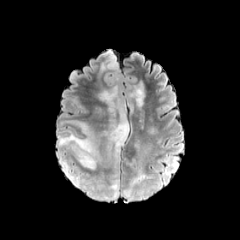
FLAIR MR.
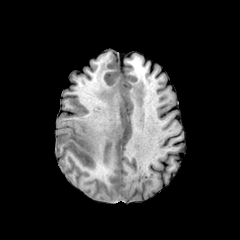
T1-weighted MR image.
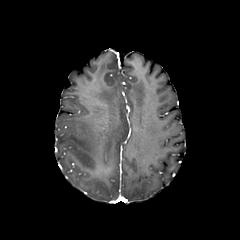
Same slice, post-contrast T1-weighted MR.
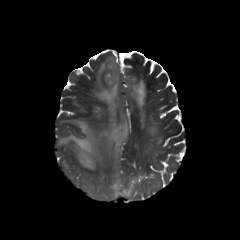
Same slice, T2-weighted MRI.
Axial slice
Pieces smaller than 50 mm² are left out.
peritumoral edema = x1=61 y1=161 x2=79 y2=185, x1=131 y1=82 x2=144 y2=107, x1=121 y1=172 x2=145 y2=199, x1=89 y1=171 x2=119 y2=199, x1=58 y1=85 x2=128 y2=170